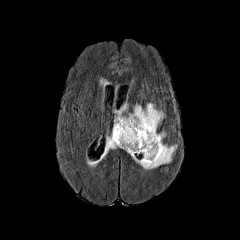
FLAIR magnetic resonance.
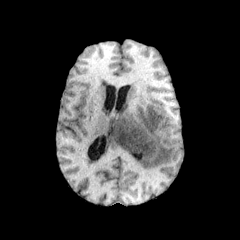
Same slice, T1-weighted MR image.
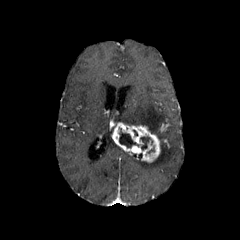
Post-contrast T1-weighted MR.
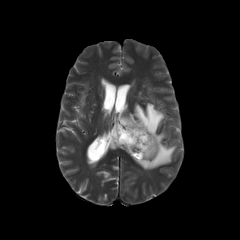
T2-weighted MR image of the same slice.
Brain
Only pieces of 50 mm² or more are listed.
Annotated regions:
* enhancing tumor: (x1=112, y1=122, x2=160, y2=162)
* peritumoral edema: (x1=105, y1=137, x2=129, y2=154), (x1=115, y1=103, x2=176, y2=169)
* necrotic tumor core: (x1=119, y1=131, x2=138, y2=147), (x1=140, y1=137, x2=150, y2=149)